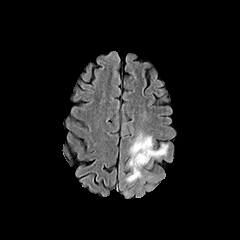
FLAIR MRI.
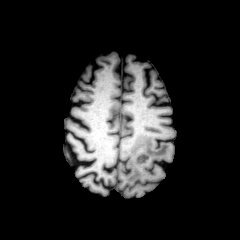
T1-weighted magnetic resonance.
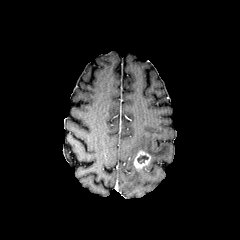
Post-contrast T1-weighted MR.
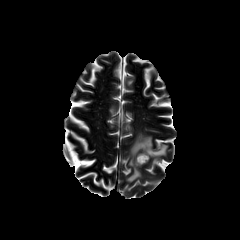
T2-weighted MR image.
Axial slice, Head
The peritumoral edema appears at x1=125, y1=132, x2=168, y2=183. The enhancing tumor is bounded by x1=133, y1=151, x2=150, y2=169. The necrotic tumor core lies within x1=137, y1=155, x2=148, y2=163.